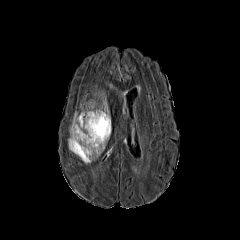
FLAIR MR image.
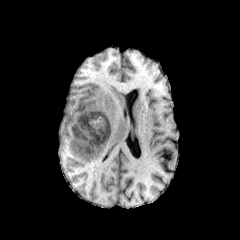
T1-weighted magnetic resonance of the same slice.
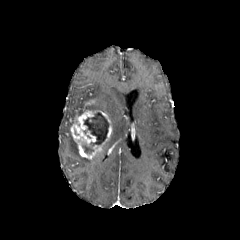
Same slice, post-contrast T1-weighted MRI.
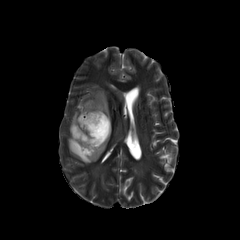
T2-weighted MRI.
Axial slice; 240x240
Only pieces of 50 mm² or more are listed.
Findings:
- peritumoral edema: 99, 92, 110, 118; 68, 135, 100, 163
- necrotic tumor core: 84, 112, 109, 145
- enhancing tumor: 70, 110, 111, 159; 85, 100, 97, 105